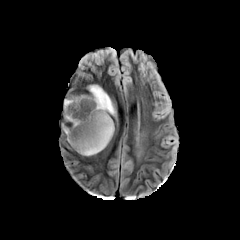
FLAIR magnetic resonance.
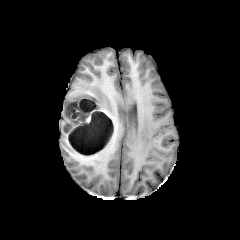
T1-weighted magnetic resonance.
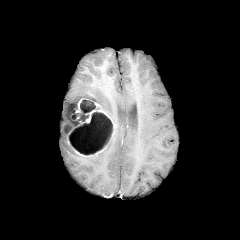
Post-contrast T1-weighted magnetic resonance.
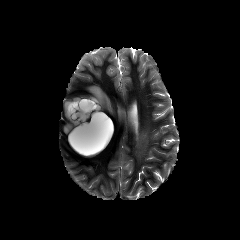
T2-weighted MR image.
Head. Image size 240x240.
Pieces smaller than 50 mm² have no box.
enhancing_tumor:
  - region(61, 91, 110, 144)
necrotic_tumor_core:
  - region(65, 94, 95, 120)
  - region(69, 112, 113, 155)
  - region(79, 113, 89, 121)
  - region(80, 100, 98, 113)
  - region(63, 121, 76, 132)
peritumoral_edema:
  - region(88, 85, 115, 115)